Head. 240x240. Slice index 82.
FLAIR MRI.
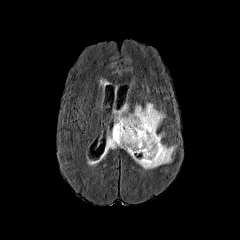
T1-weighted MR image.
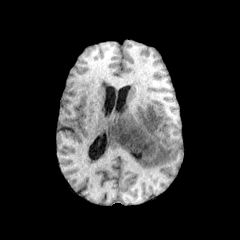
Post-contrast T1-weighted MRI.
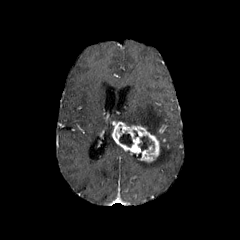
T2-weighted magnetic resonance.
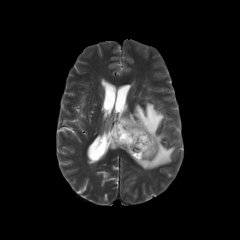
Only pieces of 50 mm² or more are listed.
Annotated regions:
* peritumoral edema: box(115, 102, 175, 169); box(105, 136, 119, 153)
* enhancing tumor: box(112, 121, 159, 162)
* necrotic tumor core: box(119, 134, 132, 146); box(139, 136, 152, 150)